Image width 240 mm, 1.00 mm slice spacing; Axial slice; Slice 107/155
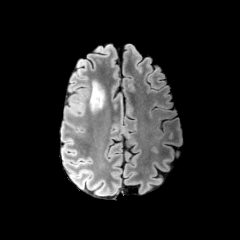
FLAIR magnetic resonance.
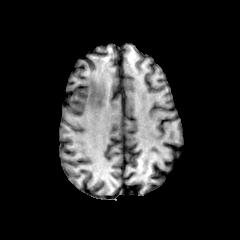
T1-weighted MR image.
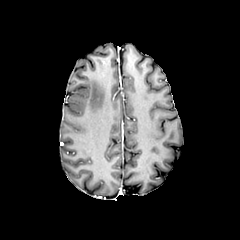
Post-contrast T1-weighted magnetic resonance of the same slice.
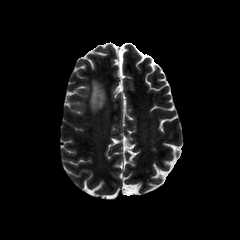
T2-weighted magnetic resonance.
The peritumoral edema appears at rect(89, 80, 105, 112).